FLAIR magnetic resonance.
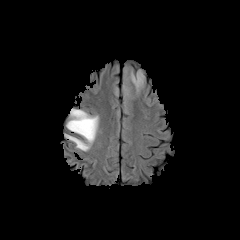
T1-weighted MRI.
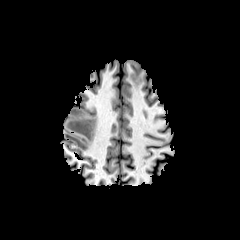
Post-contrast T1-weighted MR.
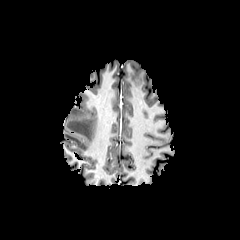
T2-weighted magnetic resonance.
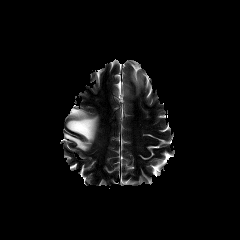
Head
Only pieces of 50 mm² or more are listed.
peritumoral_edema:
  - [64,108,98,151]
  - [130,70,144,92]